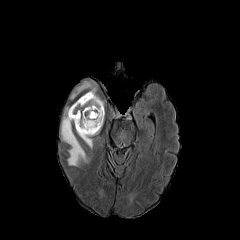
FLAIR MR.
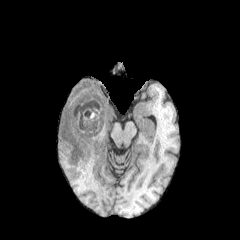
T1-weighted MR image.
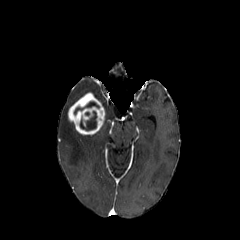
Same slice, post-contrast T1-weighted MRI.
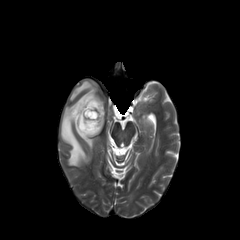
T2-weighted MR image of the same slice.
Brain
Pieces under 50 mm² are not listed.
3 peritumoral edema regions are bounded by {"x1": 70, "y1": 81, "x2": 103, "y2": 106}, {"x1": 77, "y1": 132, "x2": 98, "y2": 148}, {"x1": 61, "y1": 107, "x2": 89, "y2": 166}. The enhancing tumor is at {"x1": 68, "y1": 92, "x2": 104, "y2": 135}. The 2 largest necrotic tumor core regions appear at {"x1": 74, "y1": 101, "x2": 99, "y2": 114}, {"x1": 80, "y1": 111, "x2": 96, "y2": 130}.